FLAIR MR image.
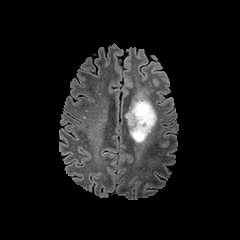
T1-weighted MRI.
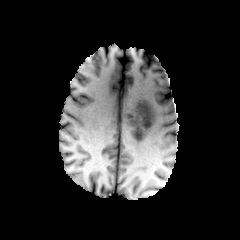
Post-contrast T1-weighted MRI.
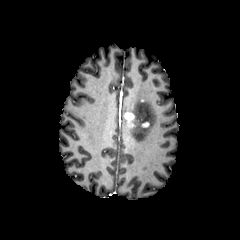
T2-weighted MRI.
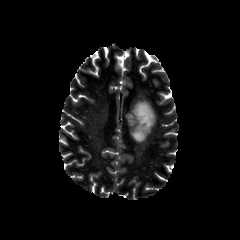
Brain
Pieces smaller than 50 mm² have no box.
peritumoral edema = (x1=128, y1=97, x2=154, y2=141)
enhancing tumor = (x1=125, y1=113, x2=134, y2=126)